FLAIR MR.
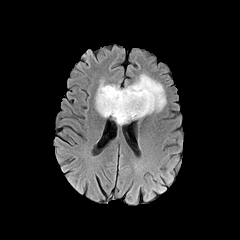
T1-weighted MRI.
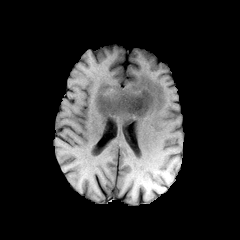
Post-contrast T1-weighted MR image.
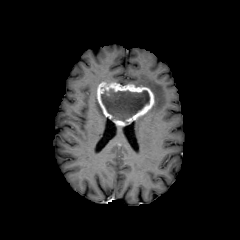
T2-weighted magnetic resonance.
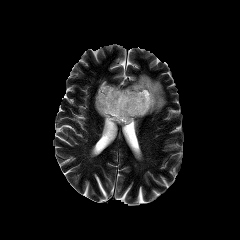
Brain | Image size 240x240
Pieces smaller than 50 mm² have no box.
The enhancing tumor is at region(96, 82, 154, 125). The necrotic tumor core is at region(101, 89, 149, 121). The 2 largest peritumoral edema regions are located at region(95, 96, 107, 117); region(133, 74, 166, 118).